Head | Axial plane | Slice 94 of 155 | 240x240 px
FLAIR MR.
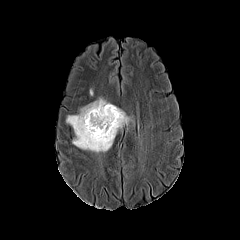
T1-weighted MRI.
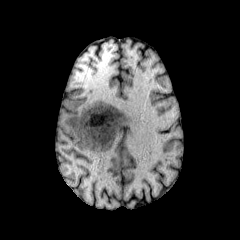
Post-contrast T1-weighted MR image.
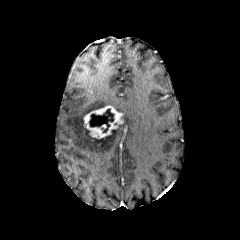
T2-weighted MR.
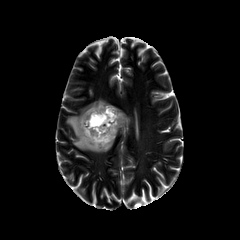
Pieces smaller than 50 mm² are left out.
necrotic tumor core: [x1=89, y1=109, x2=115, y2=132]
peritumoral edema: [x1=66, y1=98, x2=131, y2=152]
enhancing tumor: [x1=83, y1=105, x2=123, y2=138]